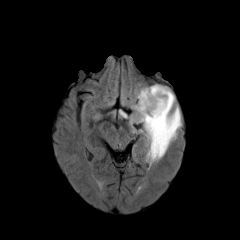
FLAIR MRI.
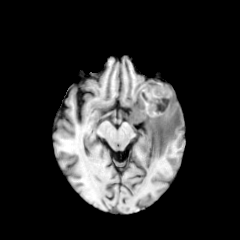
T1-weighted MR.
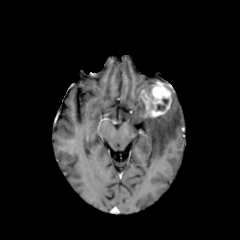
Same slice, post-contrast T1-weighted MRI.
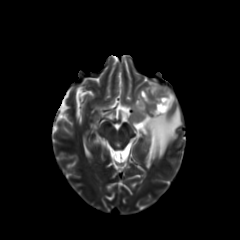
Same slice, T2-weighted magnetic resonance.
Brain
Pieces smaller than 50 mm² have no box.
peritumoral edema: [x1=146, y1=81, x2=156, y2=97], [x1=131, y1=95, x2=180, y2=159] | necrotic tumor core: [x1=156, y1=98, x2=168, y2=111] | enhancing tumor: [x1=140, y1=81, x2=172, y2=117]